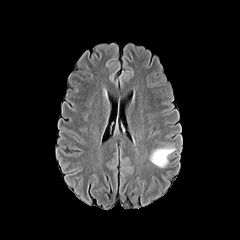
FLAIR MR image.
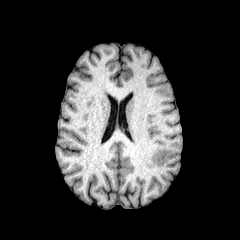
T1-weighted MRI of the same slice.
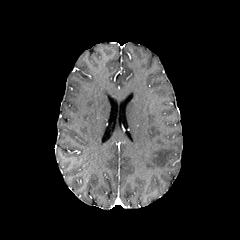
Post-contrast T1-weighted MRI of the same slice.
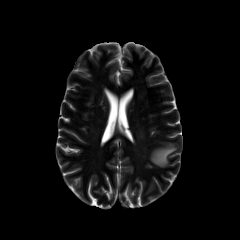
Same slice, T2-weighted magnetic resonance.
Axial plane, Image size 240x240
The peritumoral edema is at 150, 146, 175, 167.